Slice 93/155. Brain. Axial plane.
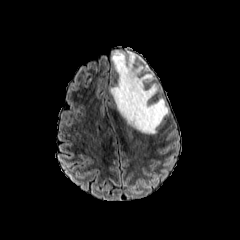
FLAIR MR image.
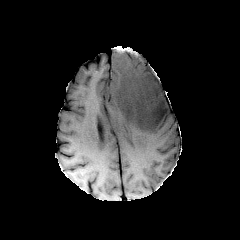
Same slice, T1-weighted MR image.
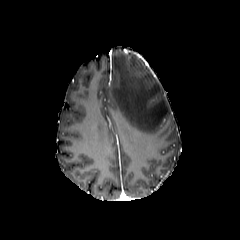
Post-contrast T1-weighted magnetic resonance of the same slice.
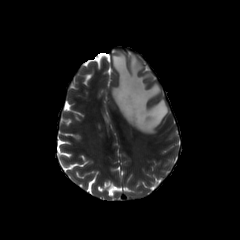
T2-weighted MR image.
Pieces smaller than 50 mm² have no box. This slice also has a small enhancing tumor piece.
peritumoral edema at x1=110, y1=50, x2=169, y2=134